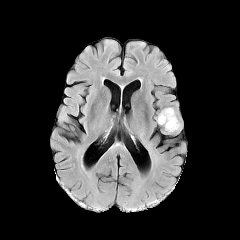
FLAIR magnetic resonance.
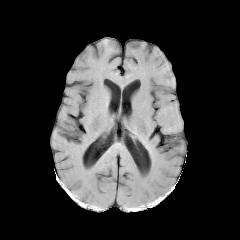
T1-weighted magnetic resonance.
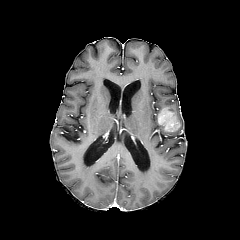
Post-contrast T1-weighted MR image of the same slice.
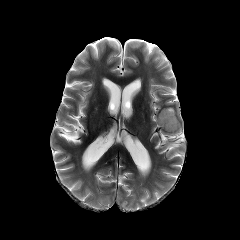
T2-weighted magnetic resonance.
Brain
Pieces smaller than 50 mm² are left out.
peritumoral edema: (x1=163, y1=107, x2=182, y2=133)
enhancing tumor: (x1=158, y1=107, x2=180, y2=131)